Brain, Axial slice, Slice index 95
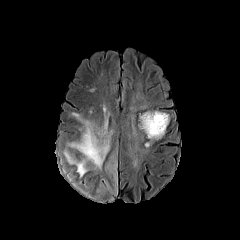
FLAIR MRI.
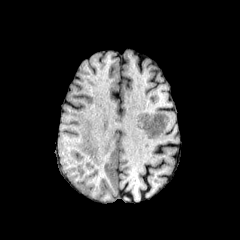
T1-weighted MRI.
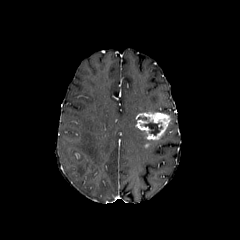
Post-contrast T1-weighted MR of the same slice.
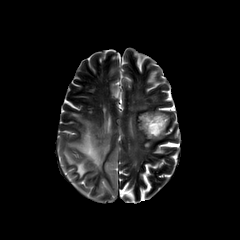
T2-weighted MRI.
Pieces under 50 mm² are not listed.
Segmented structures:
* peritumoral edema: {"x1": 106, "y1": 153, "x2": 117, "y2": 181}, {"x1": 95, "y1": 177, "x2": 115, "y2": 196}, {"x1": 62, "y1": 168, "x2": 74, "y2": 179}, {"x1": 64, "y1": 114, "x2": 111, "y2": 177}, {"x1": 73, "y1": 178, "x2": 94, "y2": 194}, {"x1": 133, "y1": 154, "x2": 143, "y2": 165}
* enhancing tumor: {"x1": 137, "y1": 112, "x2": 170, "y2": 139}
* necrotic tumor core: {"x1": 144, "y1": 122, "x2": 161, "y2": 135}